Slice index 38, Axial view, Head
FLAIR MRI.
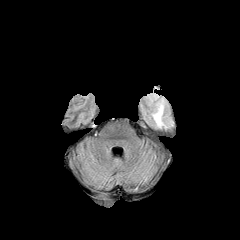
T1-weighted magnetic resonance.
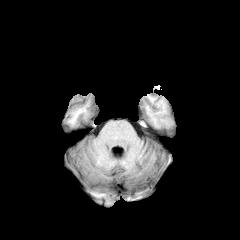
Post-contrast T1-weighted magnetic resonance.
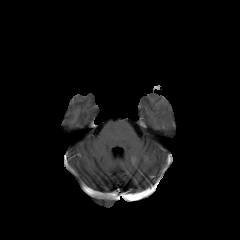
T2-weighted magnetic resonance.
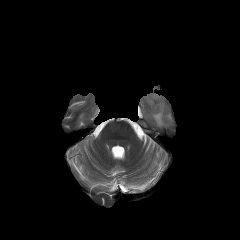
Findings:
* peritumoral edema: (x1=149, y1=93, x2=171, y2=127)